240x240; Head; Axial view
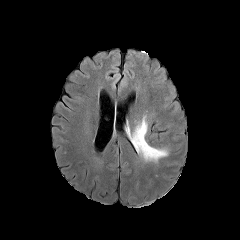
FLAIR MR.
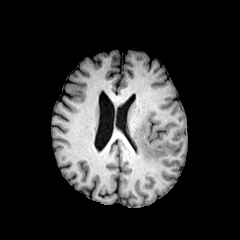
T1-weighted MR image of the same slice.
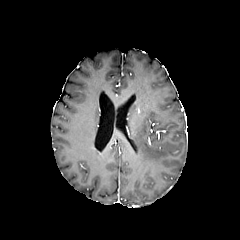
Post-contrast T1-weighted MR image.
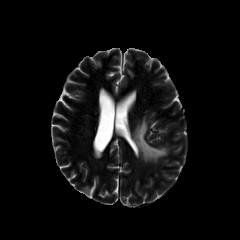
T2-weighted magnetic resonance.
<segmentation>
  <peritumoral_edema>132, 116, 167, 162</peritumoral_edema>
</segmentation>